FLAIR MRI.
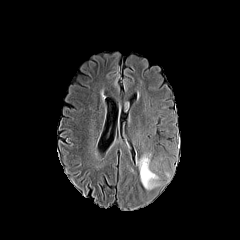
T1-weighted magnetic resonance.
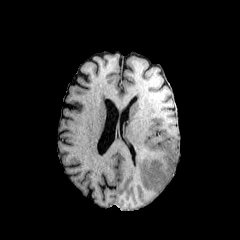
Post-contrast T1-weighted magnetic resonance.
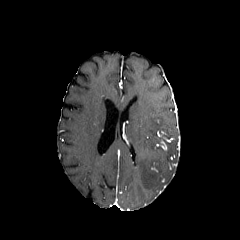
T2-weighted MR.
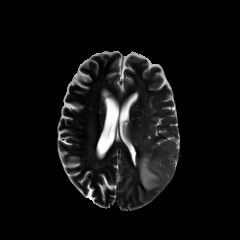
Head | 240x240
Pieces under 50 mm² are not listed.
peritumoral edema: bounding box [137,154,158,189]